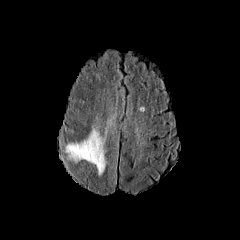
FLAIR MRI.
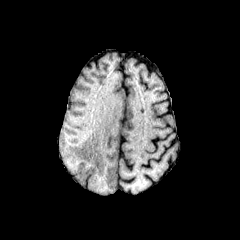
Same slice, T1-weighted MR image.
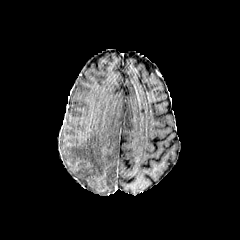
Same slice, post-contrast T1-weighted MR image.
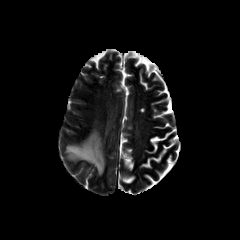
T2-weighted MR image.
Image size 240x240 | Head
{
  "peritumoral_edema": [
    "66:129:105:174"
  ]
}